Image covers 240 mm x 240 mm, Axial view, 240x240, Head
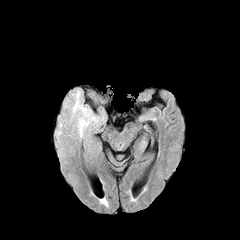
FLAIR MR.
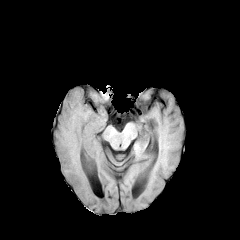
T1-weighted MR of the same slice.
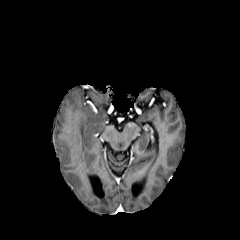
Post-contrast T1-weighted MRI.
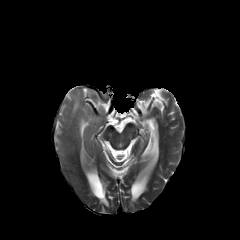
T2-weighted magnetic resonance of the same slice.
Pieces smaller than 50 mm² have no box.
peritumoral_edema:
  - box(56, 98, 74, 140)
  - box(67, 88, 107, 136)